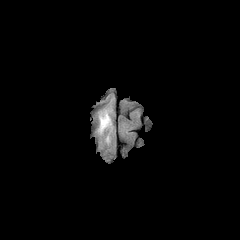
FLAIR magnetic resonance.
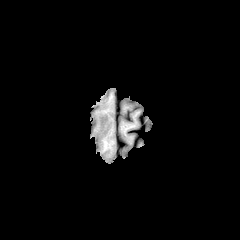
T1-weighted MR image of the same slice.
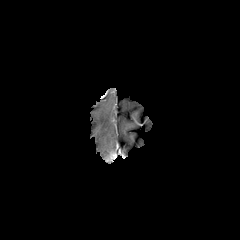
Post-contrast T1-weighted MR of the same slice.
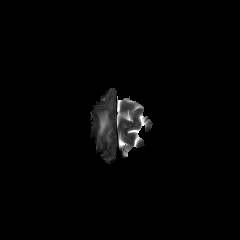
T2-weighted MRI of the same slice.
Axial view, 240x240 px
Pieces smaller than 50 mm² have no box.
<segmentation>
  <peritumoral_edema>box(99, 111, 110, 133)</peritumoral_edema>
</segmentation>